Slice 123 of 155.
FLAIR MR.
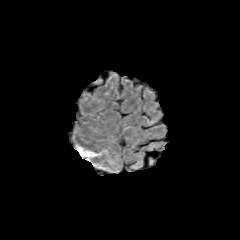
T1-weighted MR.
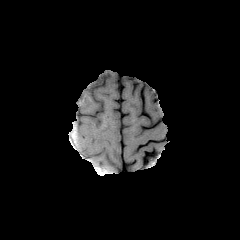
Post-contrast T1-weighted MR image.
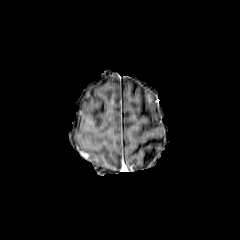
T2-weighted magnetic resonance.
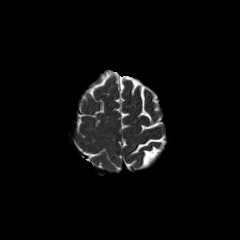
peritumoral edema: <box>76,145,93,160</box>